Slice 107 of 155, Head
FLAIR MRI.
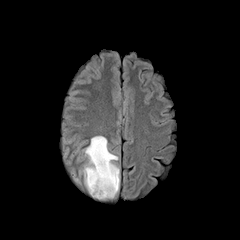
T1-weighted MR image.
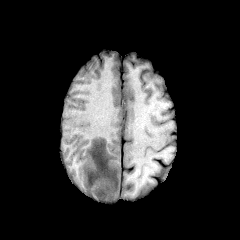
Post-contrast T1-weighted magnetic resonance.
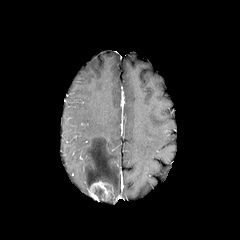
T2-weighted MR.
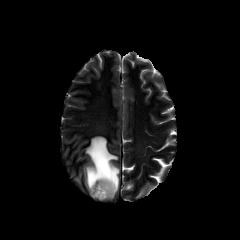
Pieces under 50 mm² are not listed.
The enhancing tumor is at rect(88, 180, 114, 200). The largest necrotic tumor core region is located at rect(95, 189, 102, 199). The largest peritumoral edema region is at rect(83, 136, 119, 195).